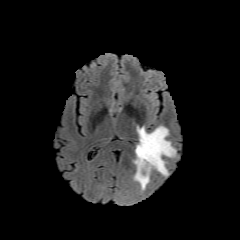
FLAIR MR image.
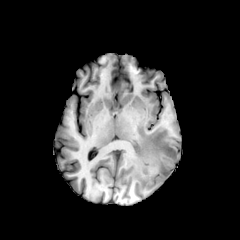
T1-weighted MRI.
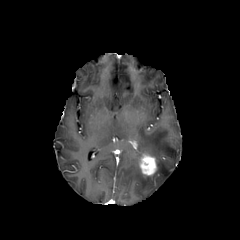
Post-contrast T1-weighted magnetic resonance.
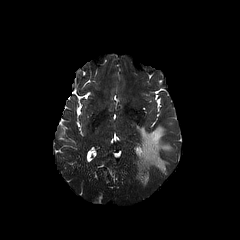
Same slice, T2-weighted MRI.
Axial slice. Brain.
* enhancing tumor: x1=139 y1=153 x2=156 y2=175
* peritumoral edema: x1=133 y1=126 x2=175 y2=189